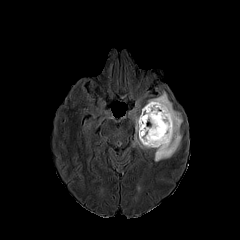
FLAIR MRI.
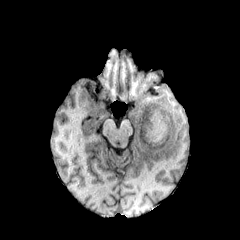
Same slice, T1-weighted MRI.
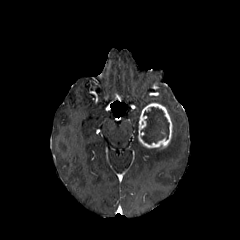
Same slice, post-contrast T1-weighted MR image.
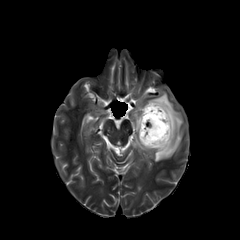
T2-weighted MR.
Axial plane. 240x240.
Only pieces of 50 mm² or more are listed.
The necrotic tumor core lies within (141,107,169,144). The largest enhancing tumor region lies within (138,102,172,149). The peritumoral edema is at (129,84,184,161).